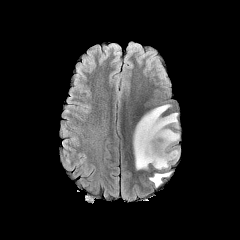
FLAIR MR.
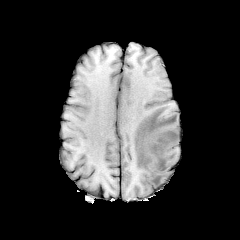
T1-weighted magnetic resonance.
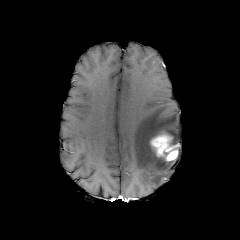
Post-contrast T1-weighted magnetic resonance.
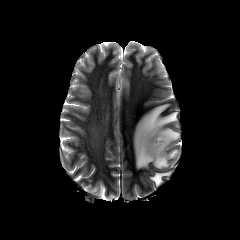
T2-weighted MRI of the same slice.
Axial plane; Brain
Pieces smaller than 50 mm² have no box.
The enhancing tumor is at x1=150 y1=131 x2=179 y2=163. The 2 largest peritumoral edema regions are located at x1=133 y1=104 x2=179 y2=170, x1=149 y1=172 x2=171 y2=186.